FLAIR MR image.
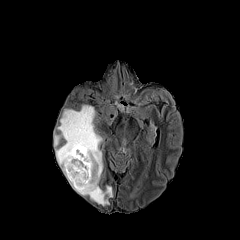
T1-weighted MR.
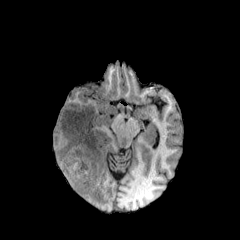
Post-contrast T1-weighted MR image.
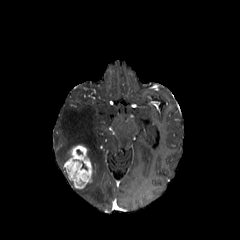
T2-weighted MR.
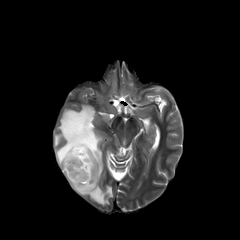
240x240 px; Head
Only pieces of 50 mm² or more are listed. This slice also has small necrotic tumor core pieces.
peritumoral edema: bbox(54, 105, 112, 205) | enhancing tumor: bbox(63, 145, 92, 189)